FLAIR MR image.
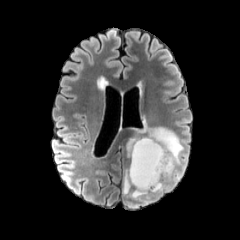
T1-weighted MR image.
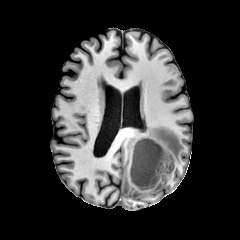
Post-contrast T1-weighted MR.
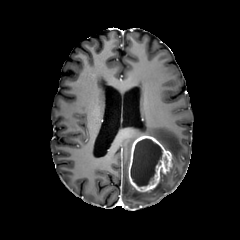
T2-weighted MR.
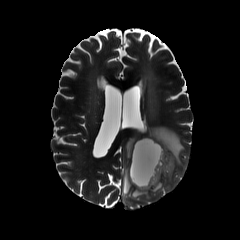
Brain | Axial view
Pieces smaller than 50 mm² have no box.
enhancing_tumor:
  - [128, 135, 172, 192]
peritumoral_edema:
  - [127, 135, 141, 156]
  - [123, 169, 163, 203]
  - [138, 121, 183, 178]
necrotic_tumor_core:
  - [131, 138, 162, 186]